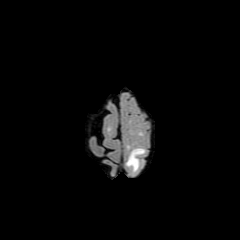
FLAIR MR image.
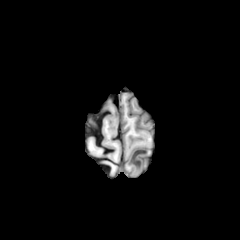
Same slice, T1-weighted MR image.
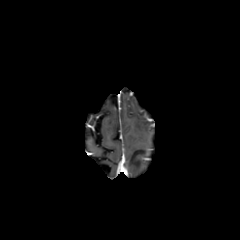
Post-contrast T1-weighted MR image of the same slice.
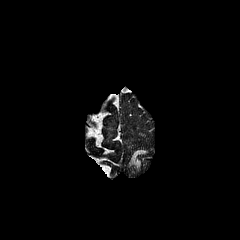
Same slice, T2-weighted MR image.
<segmentation>
  <peritumoral_edema>(x1=128, y1=149, x2=144, y2=170)</peritumoral_edema>
</segmentation>